FLAIR MR image.
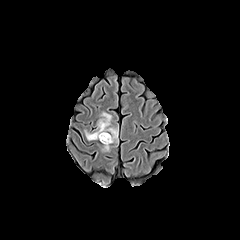
T1-weighted MRI.
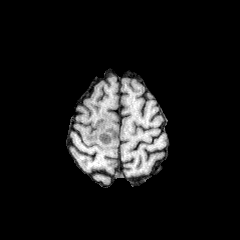
Post-contrast T1-weighted MR image.
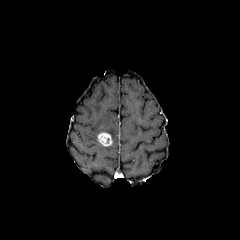
T2-weighted magnetic resonance.
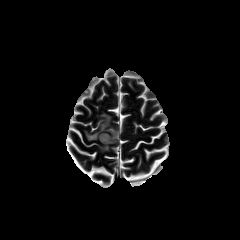
240x240 px
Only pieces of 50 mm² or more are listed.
peritumoral_edema:
  - 84 112 118 142
enhancing_tumor:
  - 97 132 112 146